Brain.
FLAIR MR.
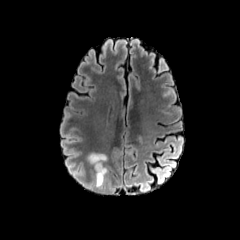
T1-weighted MR image.
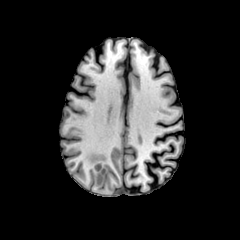
Post-contrast T1-weighted MR.
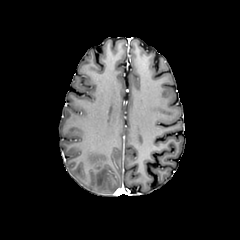
T2-weighted MR.
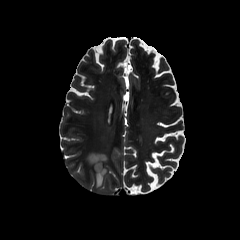
The peritumoral edema is located at bbox=[88, 153, 106, 187].